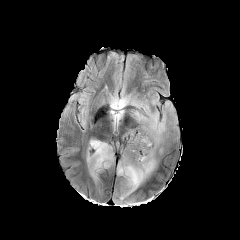
FLAIR MR.
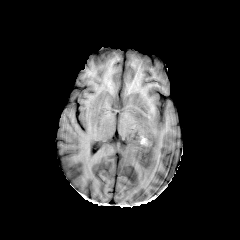
T1-weighted MRI of the same slice.
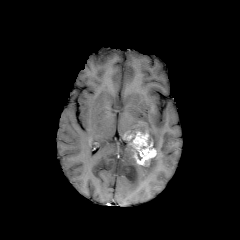
Post-contrast T1-weighted MR.
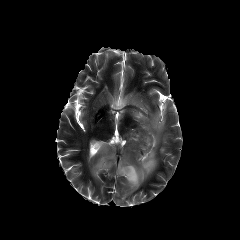
T2-weighted MR of the same slice.
Brain.
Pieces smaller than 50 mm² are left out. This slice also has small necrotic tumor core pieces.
• peritumoral edema: [x1=87, y1=139, x2=113, y2=173], [x1=110, y1=95, x2=166, y2=150], [x1=117, y1=155, x2=156, y2=195]
• enhancing tumor: [x1=124, y1=131, x2=156, y2=166]